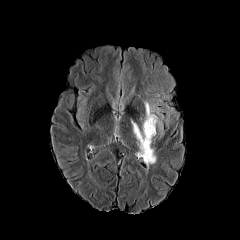
FLAIR MRI.
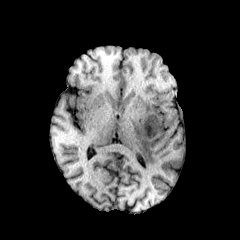
T1-weighted magnetic resonance.
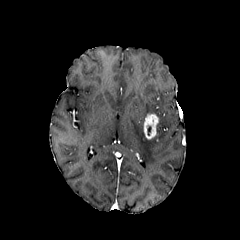
Post-contrast T1-weighted magnetic resonance.
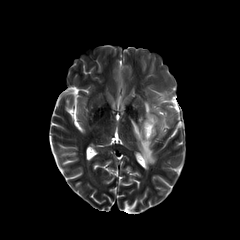
T2-weighted magnetic resonance of the same slice.
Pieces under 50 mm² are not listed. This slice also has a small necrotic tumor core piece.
peritumoral edema — (144, 102, 155, 115), (131, 121, 156, 166)
enhancing tumor — (143, 114, 158, 139)